Head. Slice 66 of 155.
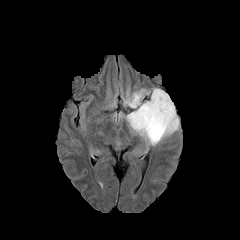
FLAIR MR image.
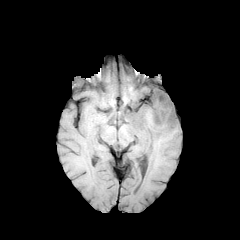
T1-weighted MR.
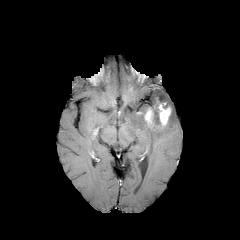
Post-contrast T1-weighted magnetic resonance.
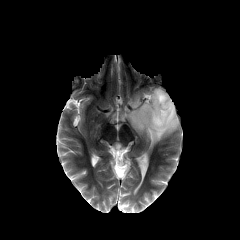
Same slice, T2-weighted MR.
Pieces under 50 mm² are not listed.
The peritumoral edema is at [x1=124, y1=88, x2=179, y2=145]. The largest enhancing tumor region is located at [x1=144, y1=98, x2=171, y2=129].